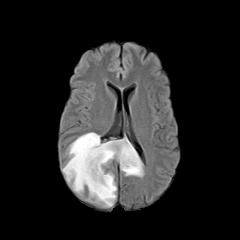
FLAIR magnetic resonance.
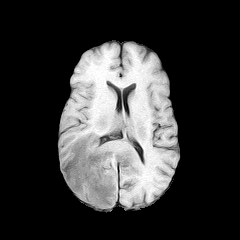
T1-weighted MR.
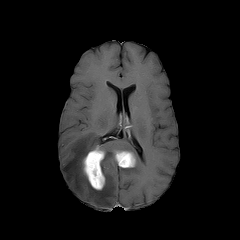
Post-contrast T1-weighted MRI.
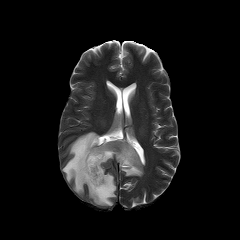
T2-weighted MRI of the same slice.
Axial plane | 240x240 px | Head
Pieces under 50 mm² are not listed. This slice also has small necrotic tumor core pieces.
peritumoral edema — [x1=62, y1=132, x2=143, y2=206]
enhancing tumor — [x1=82, y1=145, x2=106, y2=190], [x1=113, y1=150, x2=136, y2=167]